240x240 px. Axial plane. Slice index 102. Head.
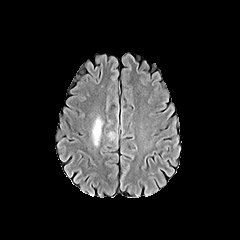
FLAIR MR image.
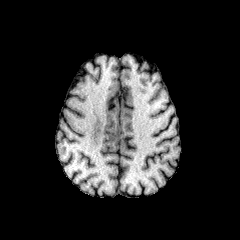
T1-weighted magnetic resonance of the same slice.
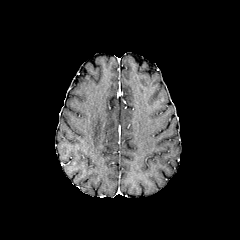
Post-contrast T1-weighted MR.
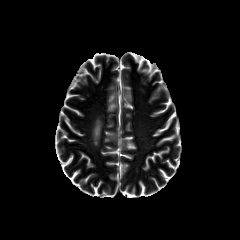
T2-weighted MRI.
Annotated regions:
- peritumoral edema: {"x1": 108, "y1": 132, "x2": 116, "y2": 139}, {"x1": 92, "y1": 117, "x2": 102, "y2": 146}